FLAIR MR image.
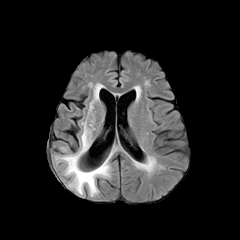
T1-weighted MRI.
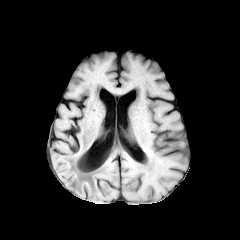
Post-contrast T1-weighted magnetic resonance.
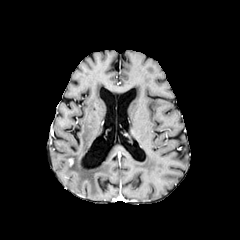
T2-weighted MR.
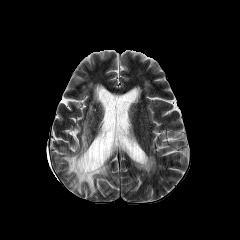
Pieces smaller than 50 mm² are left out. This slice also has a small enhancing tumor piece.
peritumoral edema: bbox=[89, 84, 101, 111]; bbox=[55, 119, 116, 194]